FLAIR MR.
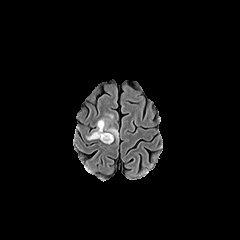
T1-weighted magnetic resonance.
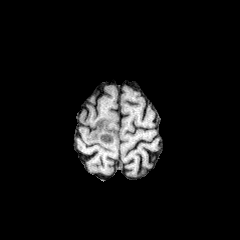
Post-contrast T1-weighted magnetic resonance.
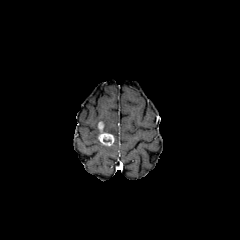
T2-weighted MRI.
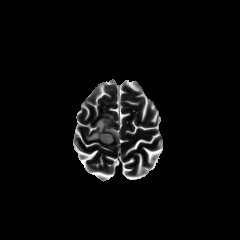
Head.
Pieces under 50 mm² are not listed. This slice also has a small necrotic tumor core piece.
<segmentation>
  <peritumoral_edema>box=[98, 114, 118, 140]; box=[87, 123, 99, 139]</peritumoral_edema>
  <enhancing_tumor>box=[98, 121, 114, 145]</enhancing_tumor>
</segmentation>